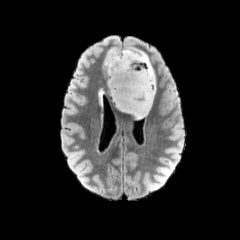
FLAIR MR image.
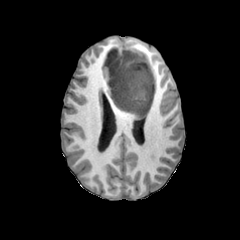
Same slice, T1-weighted MR image.
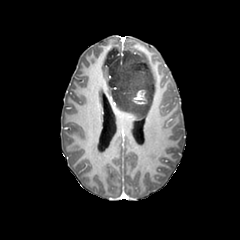
Post-contrast T1-weighted MR image.
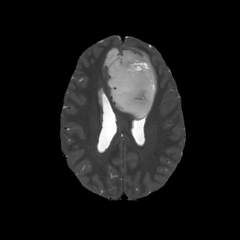
Same slice, T2-weighted MR image.
240x240 px
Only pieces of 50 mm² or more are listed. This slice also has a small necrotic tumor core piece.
Annotated regions:
- enhancing tumor: [x1=132, y1=90, x2=147, y2=104]
- peritumoral edema: [x1=105, y1=47, x2=155, y2=119]